Slice 116/155 | Head
FLAIR MR image.
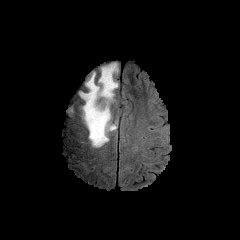
T1-weighted MRI.
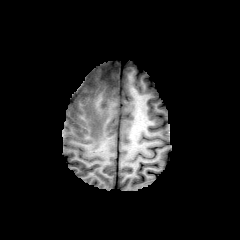
Post-contrast T1-weighted magnetic resonance.
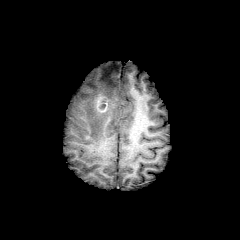
T2-weighted MRI.
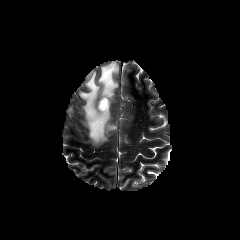
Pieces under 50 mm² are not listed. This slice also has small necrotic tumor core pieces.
peritumoral edema = region(79, 62, 118, 146)
enhancing tumor = region(97, 97, 107, 112)